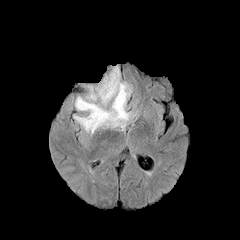
FLAIR MR.
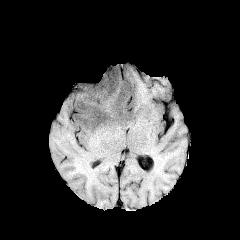
T1-weighted magnetic resonance.
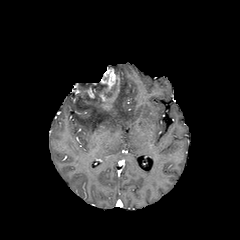
Post-contrast T1-weighted MRI of the same slice.
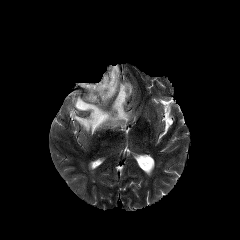
T2-weighted MRI of the same slice.
Axial plane; Head; Image size 240x240
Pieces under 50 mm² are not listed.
enhancing tumor at region(99, 68, 120, 106); region(87, 85, 94, 99)
necrotic tumor core at region(92, 83, 107, 97)
peritumoral edema at region(74, 81, 133, 134)